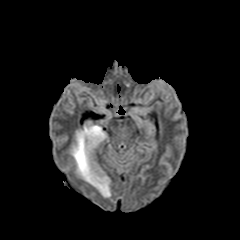
FLAIR MR.
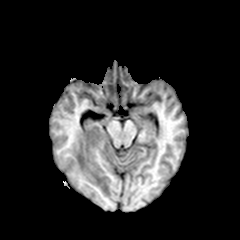
Same slice, T1-weighted MR image.
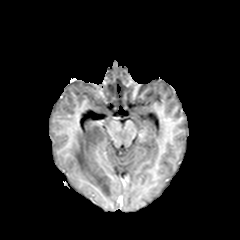
Post-contrast T1-weighted MRI.
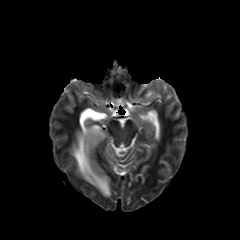
Same slice, T2-weighted MRI.
Brain, Axial slice
<segmentation>
  <peritumoral_edema>x1=71, y1=125, x2=110, y2=196</peritumoral_edema>
</segmentation>